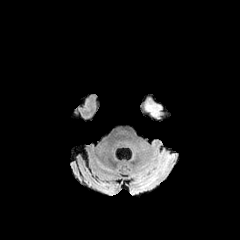
FLAIR MR.
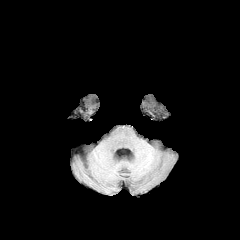
T1-weighted MR.
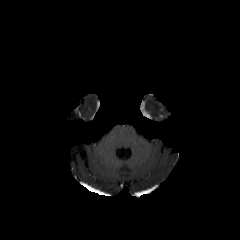
Post-contrast T1-weighted MR image.
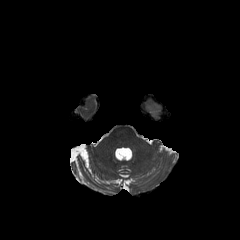
T2-weighted magnetic resonance.
Brain; Axial slice; 240x240 px
peritumoral_edema:
  - [x1=145, y1=100, x2=160, y2=116]